Slice 56 of 155
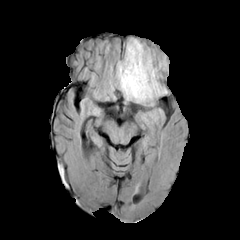
FLAIR magnetic resonance.
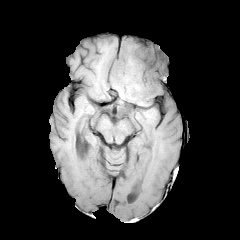
Same slice, T1-weighted MRI.
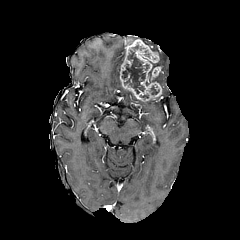
Post-contrast T1-weighted magnetic resonance.
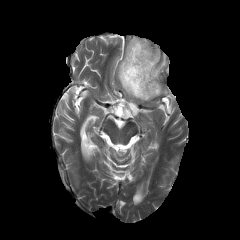
T2-weighted MR of the same slice.
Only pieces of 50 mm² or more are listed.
The 2 largest peritumoral edema regions are bounded by <box>117,61,144,102</box>, <box>148,56,166,82</box>. The largest enhancing tumor region appears at <box>119,39,162,101</box>. The largest necrotic tumor core region lies within <box>122,50,145,93</box>.